Head, 240x240, Axial plane
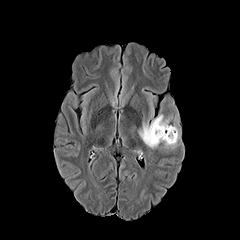
FLAIR MR.
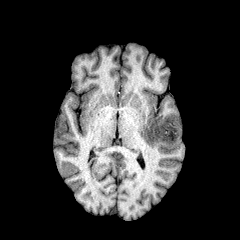
T1-weighted MR image.
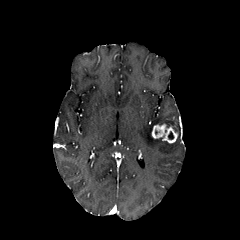
Post-contrast T1-weighted MR of the same slice.
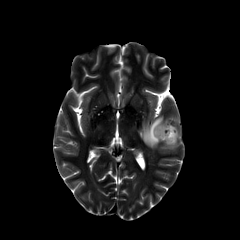
T2-weighted MRI.
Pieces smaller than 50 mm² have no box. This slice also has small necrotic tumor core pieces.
Segmented structures:
- enhancing tumor: bbox=[152, 124, 177, 143]
- peritumoral edema: bbox=[139, 115, 171, 148]; bbox=[163, 136, 179, 148]